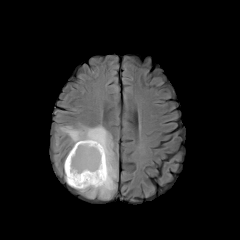
FLAIR MRI.
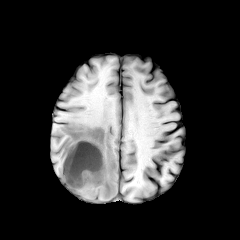
T1-weighted MR.
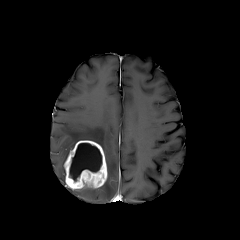
Post-contrast T1-weighted MR image of the same slice.
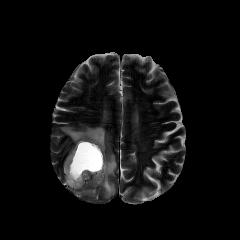
Same slice, T2-weighted MR.
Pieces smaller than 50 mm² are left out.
enhancing tumor = x1=64 y1=140 x2=107 y2=189
peritumoral edema = x1=60 y1=125 x2=116 y2=198
necrotic tumor core = x1=70 y1=143 x2=101 y2=181